240x240. Slice 86 of 155. Head.
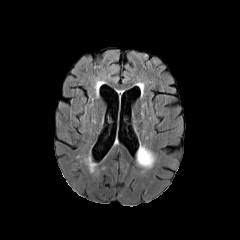
FLAIR MRI.
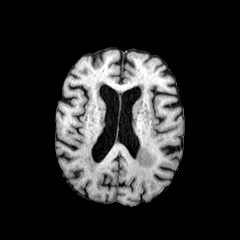
T1-weighted MR image.
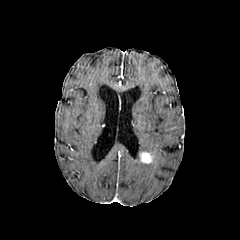
Post-contrast T1-weighted magnetic resonance.
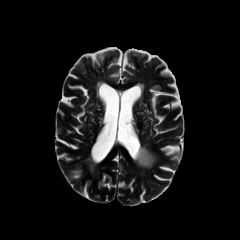
T2-weighted MRI.
enhancing tumor at (139, 152, 153, 163)
peritumoral edema at (136, 144, 156, 169)